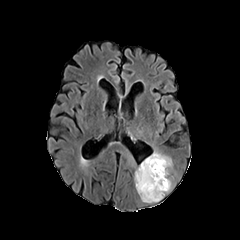
FLAIR MR image.
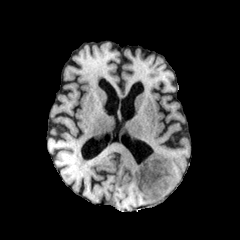
Same slice, T1-weighted magnetic resonance.
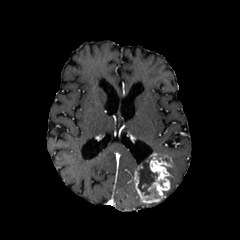
Same slice, post-contrast T1-weighted MR.
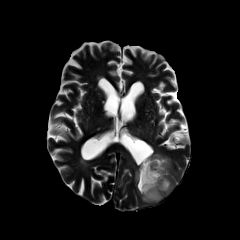
T2-weighted MRI of the same slice.
Head
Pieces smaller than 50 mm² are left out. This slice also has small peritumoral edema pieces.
necrotic tumor core: [x1=138, y1=157, x2=157, y2=195] | enhancing tumor: [x1=133, y1=153, x2=172, y2=202]